Image width 240 mm
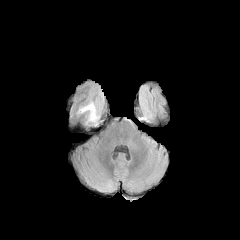
FLAIR magnetic resonance.
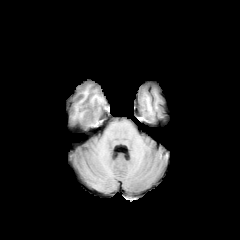
T1-weighted MR image of the same slice.
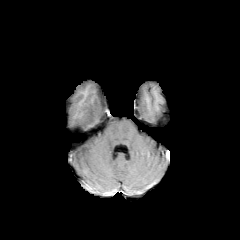
Post-contrast T1-weighted MRI.
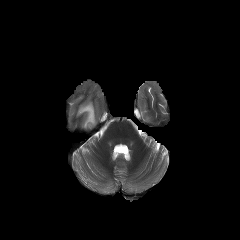
T2-weighted MRI of the same slice.
{
  "peritumoral_edema": [
    "x1=77 y1=100 x2=100 y2=125"
  ]
}